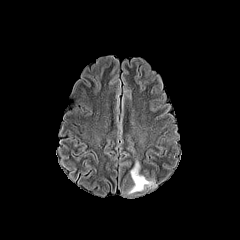
FLAIR MRI.
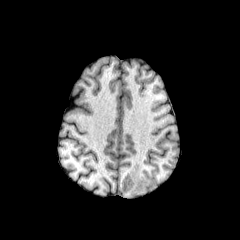
T1-weighted MRI.
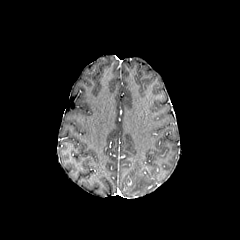
Same slice, post-contrast T1-weighted MR image.
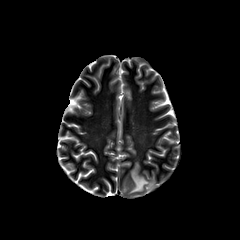
Same slice, T2-weighted MR.
peritumoral_edema:
  - [128, 161, 154, 193]